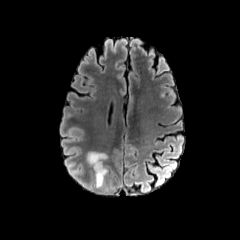
FLAIR magnetic resonance.
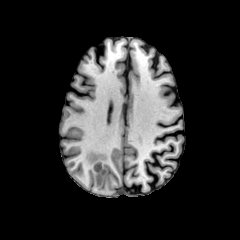
T1-weighted MRI.
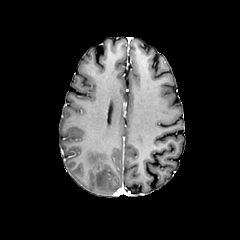
Same slice, post-contrast T1-weighted magnetic resonance.
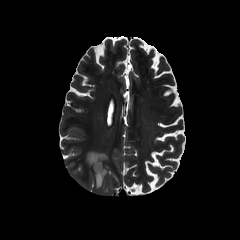
T2-weighted MR.
240x240 px
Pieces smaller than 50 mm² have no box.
peritumoral edema = (87, 152, 107, 187)